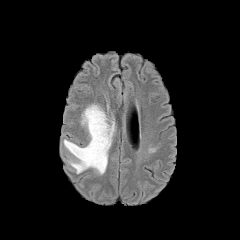
FLAIR MR.
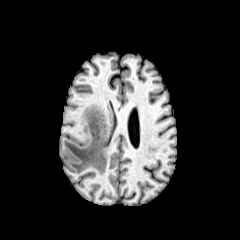
Same slice, T1-weighted MR.
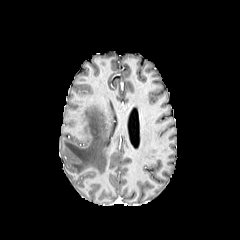
Same slice, post-contrast T1-weighted MRI.
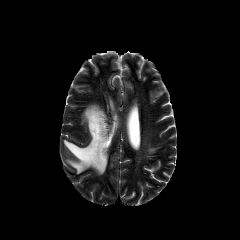
T2-weighted MR image of the same slice.
Head | Axial view
The peritumoral edema is bounded by bbox(64, 104, 113, 174).